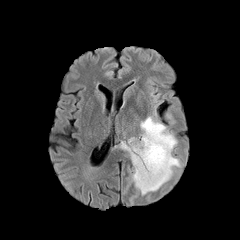
FLAIR MRI.
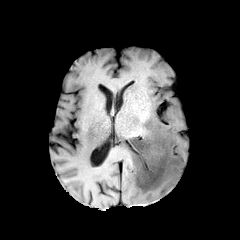
Same slice, T1-weighted MRI.
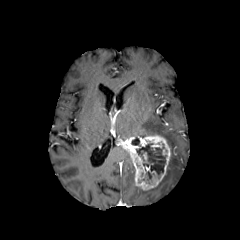
Same slice, post-contrast T1-weighted MR.
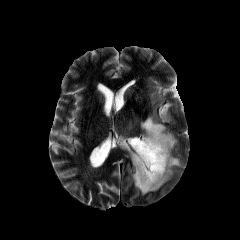
T2-weighted magnetic resonance.
Brain | 240x240 px
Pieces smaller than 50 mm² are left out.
Findings:
• enhancing tumor: (x1=119, y1=134, x2=170, y2=190)
• peritumoral edema: (x1=136, y1=116, x2=181, y2=195)
• necrotic tumor core: (x1=136, y1=144, x2=165, y2=174), (x1=131, y1=137, x2=139, y2=145)